Image size 240x240.
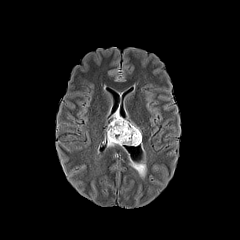
FLAIR MR.
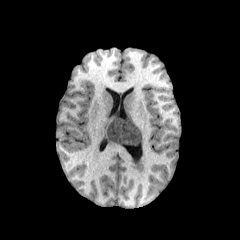
T1-weighted MR.
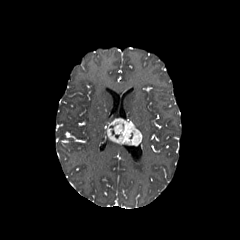
Same slice, post-contrast T1-weighted magnetic resonance.
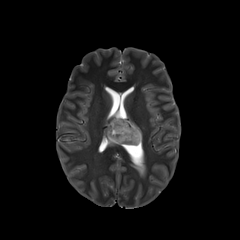
T2-weighted MRI of the same slice.
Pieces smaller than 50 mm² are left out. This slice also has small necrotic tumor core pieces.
The enhancing tumor is bounded by (106, 118, 141, 145). The largest peritumoral edema region lies within (107, 136, 118, 146).